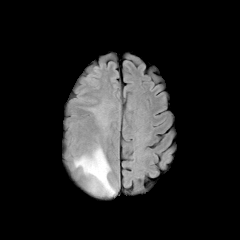
FLAIR MRI.
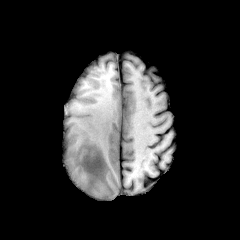
T1-weighted MRI.
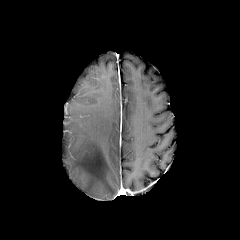
Post-contrast T1-weighted MRI.
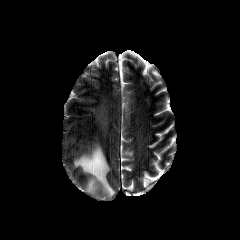
T2-weighted magnetic resonance.
Axial view, Brain, Image size 240x240
Segmented structures:
• peritumoral edema: bbox=[74, 145, 115, 196]